Head | Axial view | Slice 48/155
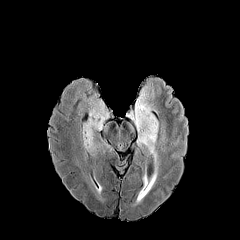
FLAIR MR.
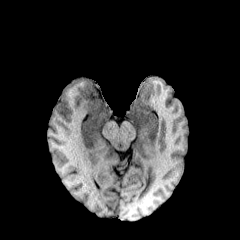
Same slice, T1-weighted magnetic resonance.
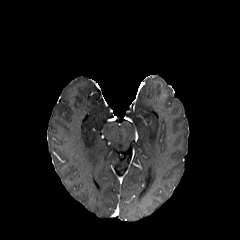
Post-contrast T1-weighted MR image.
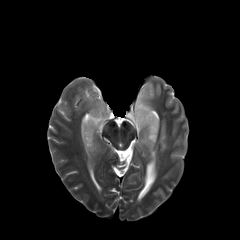
T2-weighted MR.
2 peritumoral edema regions are bounded by [82,102,108,154], [128,87,158,153].